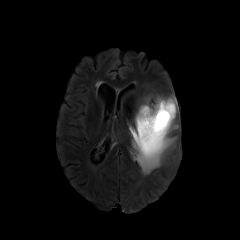
FLAIR magnetic resonance.
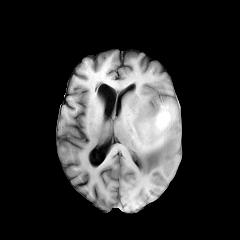
Same slice, T1-weighted MR.
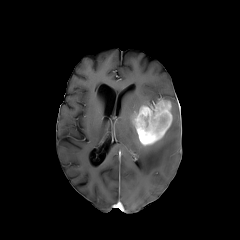
Post-contrast T1-weighted magnetic resonance.
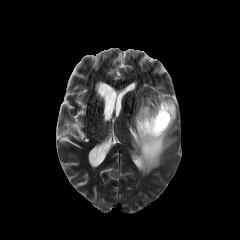
T2-weighted MR image.
Axial view. Brain.
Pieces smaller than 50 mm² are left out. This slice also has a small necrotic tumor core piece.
peritumoral edema: {"x1": 129, "y1": 94, "x2": 178, "y2": 174}, {"x1": 137, "y1": 97, "x2": 153, "y2": 112} | enhancing tumor: {"x1": 132, "y1": 98, "x2": 172, "y2": 145}